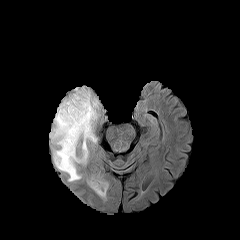
FLAIR MR image.
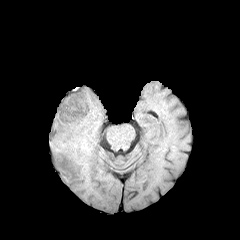
T1-weighted MR.
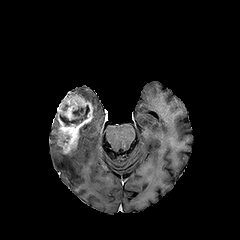
Post-contrast T1-weighted magnetic resonance.
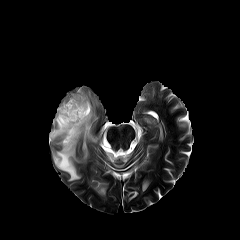
T2-weighted magnetic resonance.
Axial plane. Image size 240x240.
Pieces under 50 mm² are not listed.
peritumoral_edema:
  - 50,87,99,181
  - 53,117,58,129
  - 88,178,107,196
necrotic_tumor_core:
  - 60,105,89,125
  - 73,108,83,116
enhancing_tumor:
  - 52,92,93,154